FLAIR magnetic resonance.
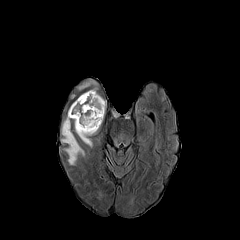
T1-weighted magnetic resonance.
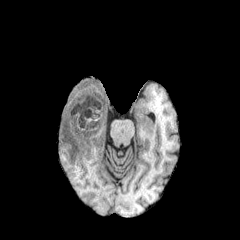
Post-contrast T1-weighted MR.
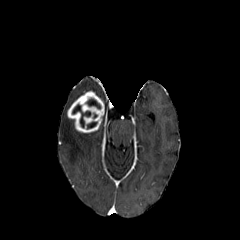
T2-weighted MR.
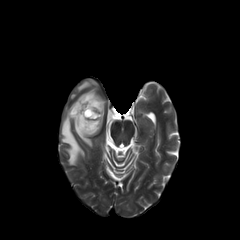
Image size 240x240
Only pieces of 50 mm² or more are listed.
necrotic tumor core = (86,99,100,108), (86,122,97,129), (72,104,90,127)
enhancing tumor = (67,91,104,133)
peritumoral edema = (78,80,96,90), (75,129,95,146), (89,87,105,106), (61,116,84,165)